Brain.
FLAIR MRI.
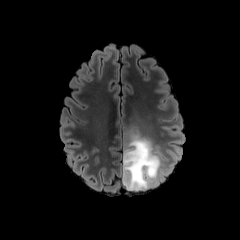
T1-weighted MR.
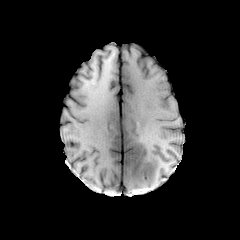
Post-contrast T1-weighted magnetic resonance.
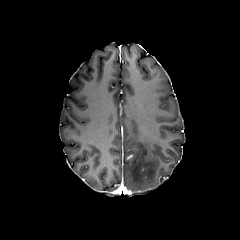
T2-weighted magnetic resonance.
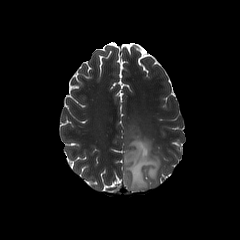
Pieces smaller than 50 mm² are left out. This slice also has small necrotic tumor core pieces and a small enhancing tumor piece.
peritumoral_edema:
  - bbox(122, 133, 167, 190)